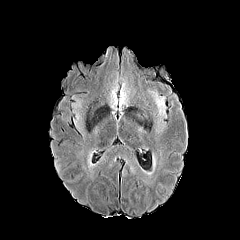
FLAIR MR image.
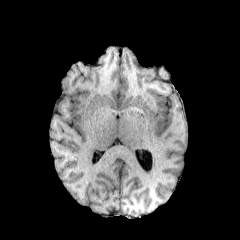
Same slice, T1-weighted MRI.
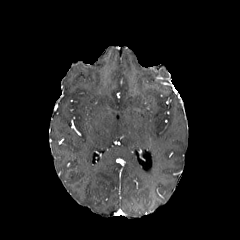
Post-contrast T1-weighted magnetic resonance.
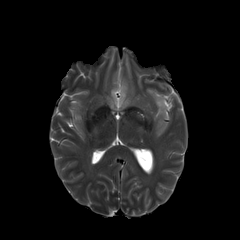
T2-weighted MR image of the same slice.
240x240 px; Brain
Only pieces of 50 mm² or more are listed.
peritumoral edema at box=[153, 94, 164, 111]